240x240. Axial view. Slice index 113. Head.
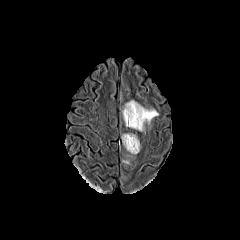
FLAIR magnetic resonance.
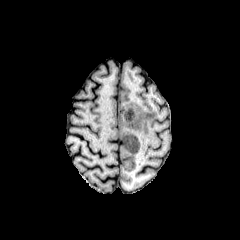
T1-weighted MRI.
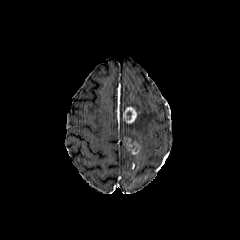
Post-contrast T1-weighted MRI.
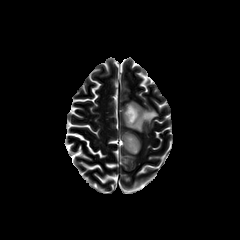
T2-weighted MR.
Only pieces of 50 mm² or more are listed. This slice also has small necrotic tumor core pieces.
2 enhancing tumor regions appear at rect(123, 137, 140, 154); rect(123, 106, 139, 123). The 2 largest peritumoral edema regions are located at rect(122, 133, 139, 143); rect(123, 100, 158, 131).